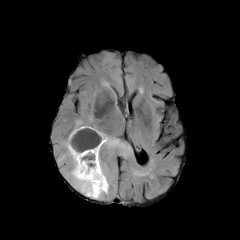
FLAIR magnetic resonance.
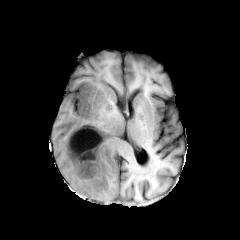
Same slice, T1-weighted MR image.
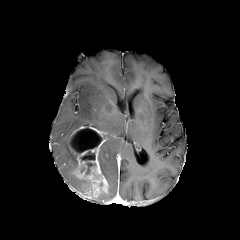
Post-contrast T1-weighted MRI of the same slice.
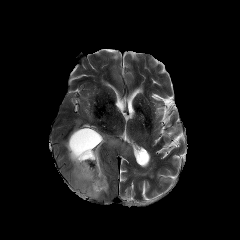
T2-weighted MR of the same slice.
240x240. Brain.
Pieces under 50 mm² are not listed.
enhancing tumor — [68, 126, 108, 198]
necrotic tumor core — [70, 127, 101, 153], [86, 162, 95, 174], [80, 151, 95, 161]
peritumoral edema — [98, 152, 107, 181], [64, 135, 84, 193], [102, 134, 128, 151]